FLAIR magnetic resonance.
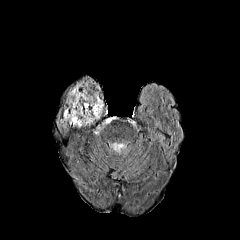
T1-weighted magnetic resonance.
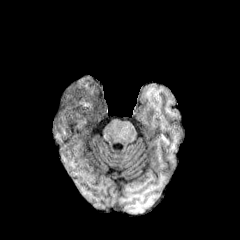
Post-contrast T1-weighted MR image.
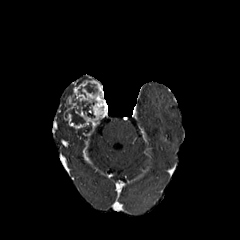
T2-weighted MR image.
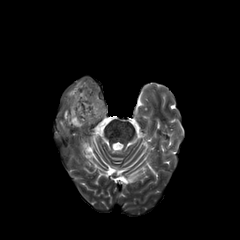
Head | Image size 240x240
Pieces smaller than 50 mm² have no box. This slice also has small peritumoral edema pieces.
Findings:
- necrotic tumor core: (85,83,96,92), (81,101,94,117), (69,109,85,124)
- enhancing tumor: (63,79,107,128)